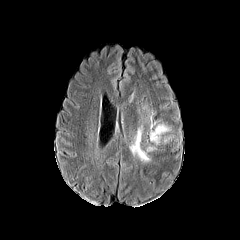
FLAIR magnetic resonance.
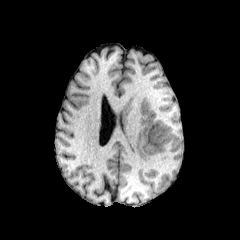
T1-weighted MR image of the same slice.
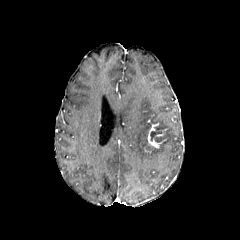
Same slice, post-contrast T1-weighted MR image.
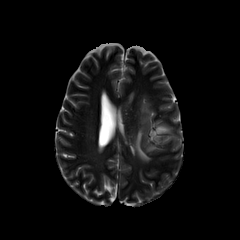
T2-weighted MRI of the same slice.
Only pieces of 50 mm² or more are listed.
The 2 largest peritumoral edema regions are bounded by l=151, t=124, r=169, b=142; l=133, t=127, r=150, b=161.